FLAIR magnetic resonance.
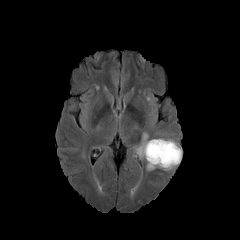
T1-weighted MR image.
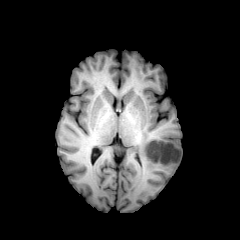
Post-contrast T1-weighted MR image.
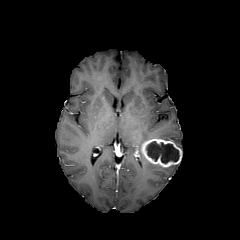
T2-weighted MR.
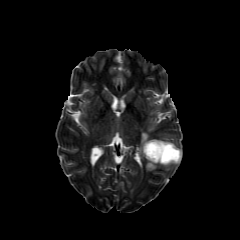
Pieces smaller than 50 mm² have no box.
<segmentation>
  <enhancing_tumor>box=[141, 139, 182, 167]</enhancing_tumor>
  <necrotic_tumor_core>box=[146, 141, 179, 163]</necrotic_tumor_core>
  <peritumoral_edema>box=[136, 133, 148, 158]; box=[146, 161, 176, 170]</peritumoral_edema>
</segmentation>